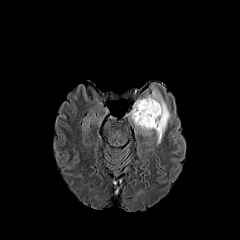
FLAIR magnetic resonance.
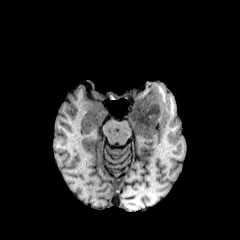
T1-weighted MR image.
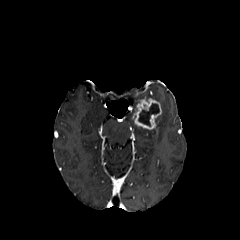
Post-contrast T1-weighted magnetic resonance of the same slice.
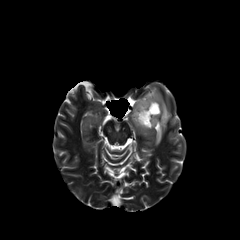
T2-weighted MRI.
Brain. Axial slice.
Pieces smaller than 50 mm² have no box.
necrotic tumor core — x1=138 y1=103 x2=159 y2=126
peritumoral edema — x1=127 y1=86 x2=171 y2=144
enhancing tumor — x1=132 y1=98 x2=161 y2=129